Slice index 86; 240x240 px
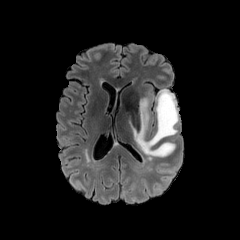
FLAIR magnetic resonance.
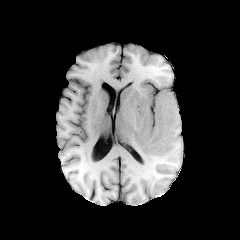
T1-weighted MRI.
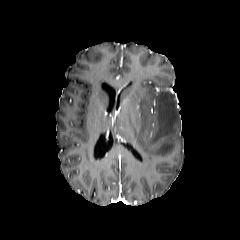
Post-contrast T1-weighted MRI.
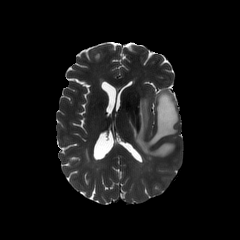
T2-weighted MRI of the same slice.
peritumoral edema: box=[131, 89, 179, 159]